FLAIR MR.
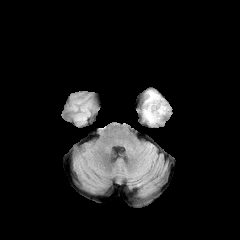
T1-weighted MRI.
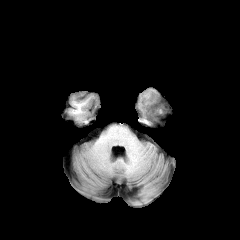
Post-contrast T1-weighted magnetic resonance.
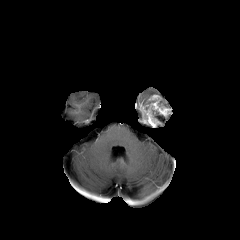
T2-weighted MR image.
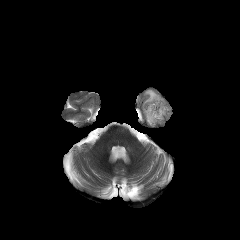
240x240 px; Axial view
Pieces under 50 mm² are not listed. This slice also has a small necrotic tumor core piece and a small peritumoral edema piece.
enhancing tumor at rect(141, 94, 171, 127)